Axial view. Slice 86/155. Head.
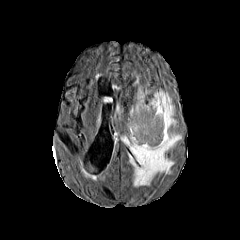
FLAIR MRI.
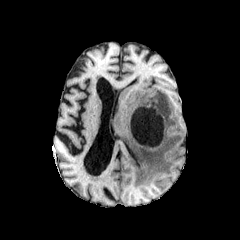
T1-weighted MRI.
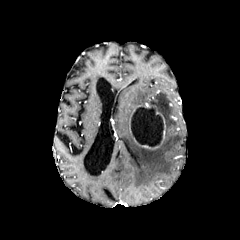
Same slice, post-contrast T1-weighted MR.
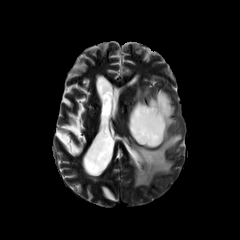
Same slice, T2-weighted magnetic resonance.
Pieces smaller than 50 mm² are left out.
{"enhancing_tumor": ["region(131, 103, 151, 116)", "region(129, 111, 165, 149)"], "peritumoral_edema": ["region(130, 88, 147, 115)", "region(121, 90, 181, 186)"], "necrotic_tumor_core": ["region(131, 106, 163, 146)"]}